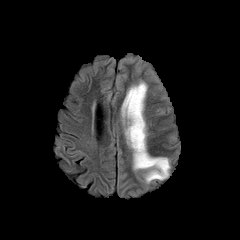
FLAIR MRI.
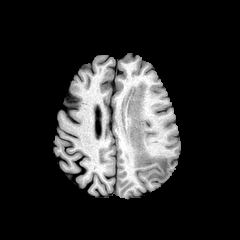
T1-weighted MR.
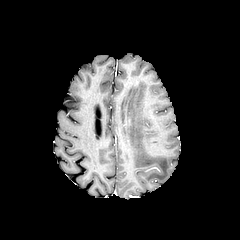
Post-contrast T1-weighted MR.
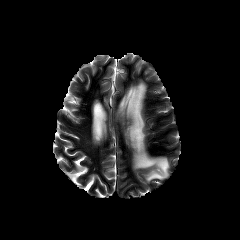
T2-weighted MR of the same slice.
Brain
peritumoral edema: (x1=122, y1=82, x2=169, y2=182)